240x240. Axial view. Head. Slice 93 of 155.
FLAIR MR image.
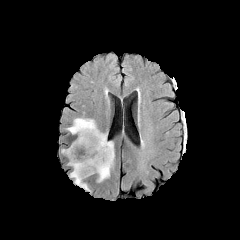
T1-weighted MRI.
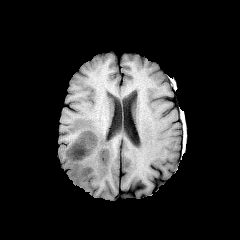
Post-contrast T1-weighted MR.
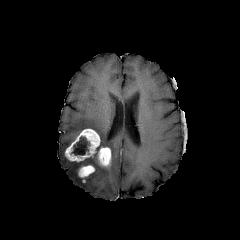
T2-weighted MR.
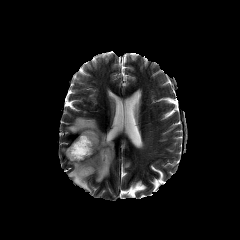
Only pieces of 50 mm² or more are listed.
The necrotic tumor core is at <box>71,136,89,155</box>. 2 enhancing tumor regions are bounded by <box>65,129,111,167</box>, <box>77,164,94,182</box>. The largest peritumoral edema region is at <box>67,118,114,192</box>.